FLAIR MRI.
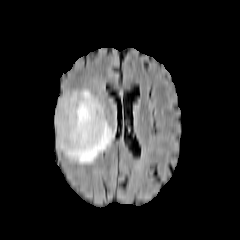
T1-weighted MRI.
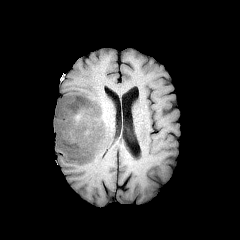
Post-contrast T1-weighted MR image.
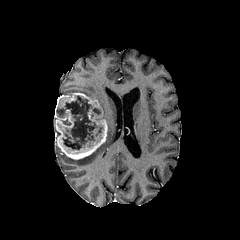
T2-weighted MR image.
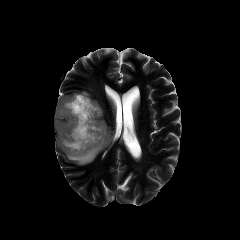
240x240.
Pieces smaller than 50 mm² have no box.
peritumoral_edema:
  - [67,122,114,164]
  - [72,89,97,99]
necrotic_tumor_core:
  - [56,96,102,149]
enhancing_tumor:
  - [54,93,107,159]